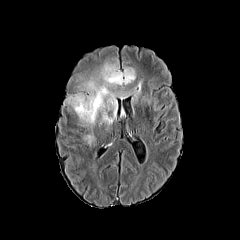
FLAIR MR.
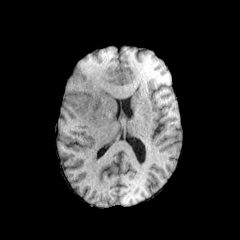
T1-weighted magnetic resonance.
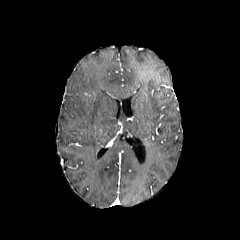
Post-contrast T1-weighted magnetic resonance of the same slice.
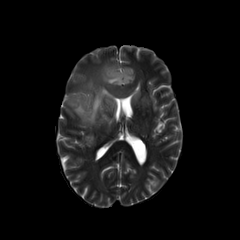
Same slice, T2-weighted MR image.
Axial slice
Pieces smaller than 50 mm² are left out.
{"peritumoral_edema": ["bbox=[68, 64, 135, 124]", "bbox=[134, 82, 141, 100]"]}